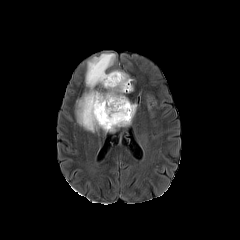
FLAIR MR.
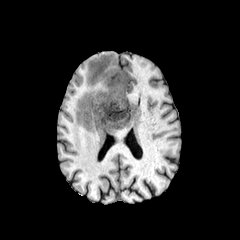
T1-weighted MR image.
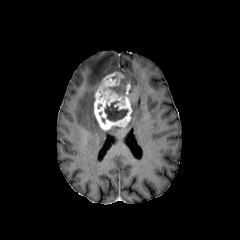
Same slice, post-contrast T1-weighted MR image.
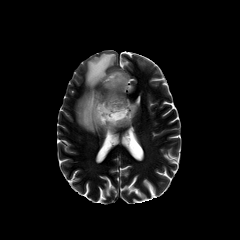
T2-weighted MR image.
Head
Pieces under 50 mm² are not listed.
Annotated regions:
* enhancing tumor: [94,72,132,130]
* necrotic tumor core: [110,79,126,94], [105,101,127,121]
* peritumoral edema: [77,53,115,132], [128,104,136,124]